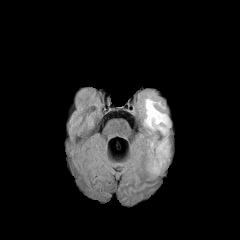
FLAIR magnetic resonance.
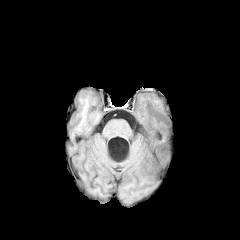
T1-weighted MR of the same slice.
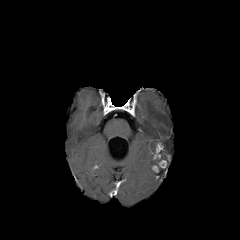
Post-contrast T1-weighted MRI.
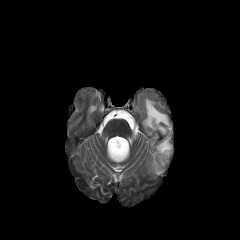
T2-weighted MRI.
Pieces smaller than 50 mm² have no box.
The peritumoral edema appears at 143:97:170:174. The 2 largest enhancing tumor regions are bounded by 151:142:163:159, 158:159:167:168.